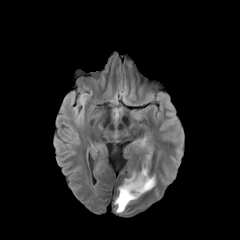
FLAIR MRI.
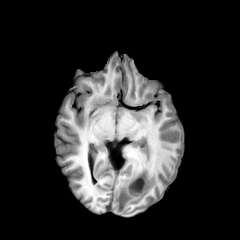
T1-weighted MR.
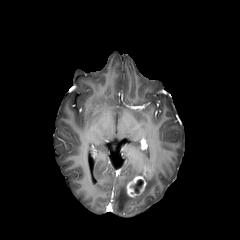
Same slice, post-contrast T1-weighted MR.
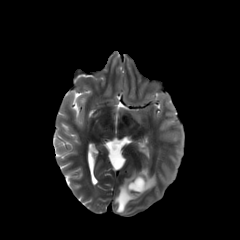
T2-weighted MR image of the same slice.
Head
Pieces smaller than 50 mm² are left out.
enhancing tumor: (x1=126, y1=168, x2=151, y2=197) | peritumoral edema: (x1=143, y1=176, x2=155, y2=192), (x1=115, y1=168, x2=144, y2=212) | necrotic tumor core: (x1=131, y1=179, x2=143, y2=193)